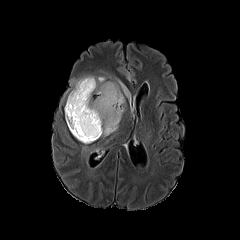
FLAIR magnetic resonance.
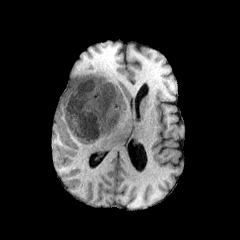
T1-weighted MR of the same slice.
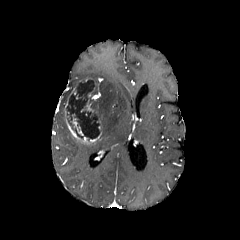
Same slice, post-contrast T1-weighted MR.
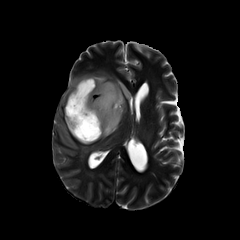
T2-weighted MR.
240x240 px
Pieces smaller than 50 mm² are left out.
peritumoral edema — (x1=70, y1=75, x2=131, y2=137)
necrotic tumor core — (x1=66, y1=79, x2=100, y2=139)
enhancing tumor — (x1=64, y1=87, x2=101, y2=143)